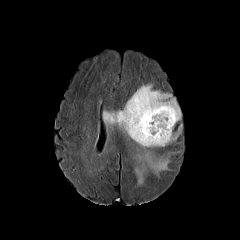
FLAIR MRI.
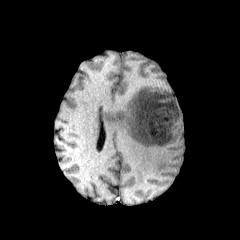
Same slice, T1-weighted MR.
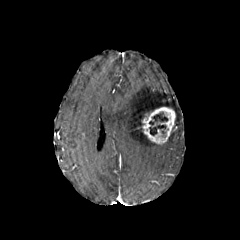
Post-contrast T1-weighted magnetic resonance.
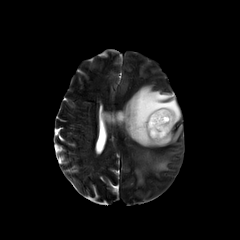
T2-weighted magnetic resonance.
240x240 px. Axial slice.
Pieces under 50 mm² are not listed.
necrotic tumor core — [149, 125, 165, 135], [149, 112, 167, 125]
enhancing tumor — [140, 106, 176, 144]
peritumoral edema — [103, 84, 182, 184]